Axial slice | Image covers 240 mm x 240 mm | Brain
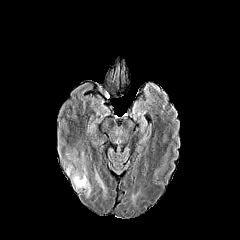
FLAIR magnetic resonance.
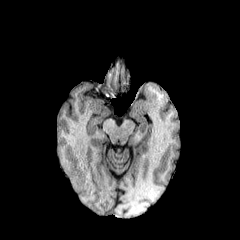
T1-weighted magnetic resonance of the same slice.
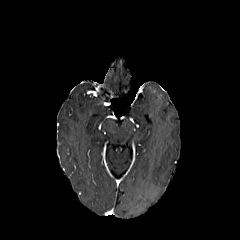
Post-contrast T1-weighted magnetic resonance.
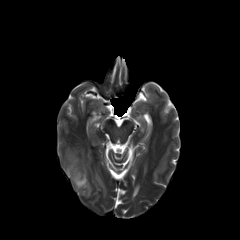
T2-weighted magnetic resonance of the same slice.
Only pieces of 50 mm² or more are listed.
peritumoral edema: (x1=95, y1=173, x2=105, y2=192), (x1=71, y1=166, x2=91, y2=197)